Axial plane. Slice 64/155.
FLAIR MR.
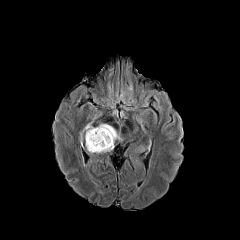
T1-weighted MR image.
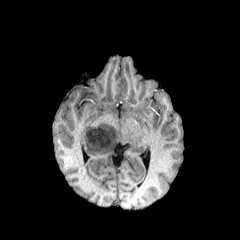
Post-contrast T1-weighted magnetic resonance.
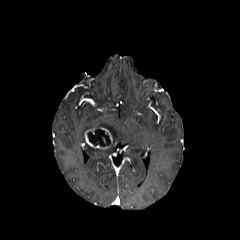
T2-weighted MR.
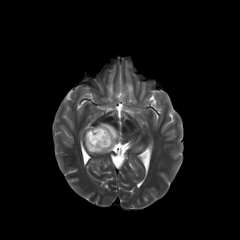
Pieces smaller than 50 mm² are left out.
peritumoral edema: 86, 123, 120, 153; 80, 124, 93, 142 | enhancing tumor: 85, 127, 112, 149 | necrotic tumor core: 87, 129, 111, 146